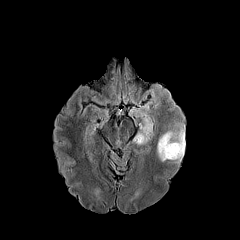
FLAIR MRI.
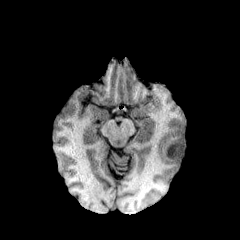
Same slice, T1-weighted MR image.
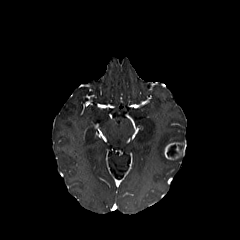
Same slice, post-contrast T1-weighted MR.
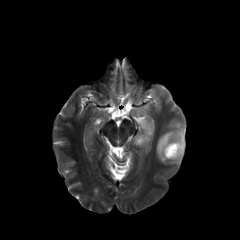
T2-weighted MR image.
240x240 | Axial plane
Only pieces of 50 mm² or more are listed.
{
  "necrotic_tumor_core": [
    "(167,145,177,156)"
  ],
  "enhancing_tumor": [
    "(164,142,185,159)"
  ],
  "peritumoral_edema": [
    "(157,124,184,162)",
    "(134,118,153,145)"
  ]
}